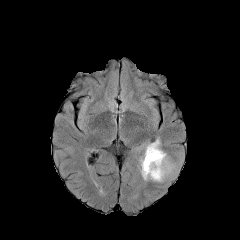
FLAIR magnetic resonance.
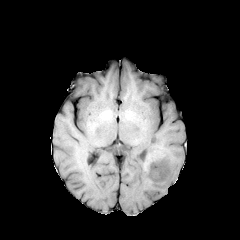
T1-weighted magnetic resonance.
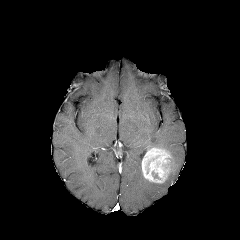
Same slice, post-contrast T1-weighted MR.
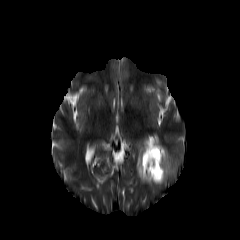
T2-weighted magnetic resonance.
Axial view
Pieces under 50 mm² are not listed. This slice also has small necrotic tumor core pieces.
enhancing tumor: (x1=141, y1=147, x2=172, y2=183)
peritumoral edema: (x1=137, y1=136, x2=162, y2=182), (x1=167, y1=158, x2=182, y2=179)